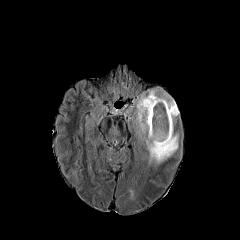
FLAIR MR image.
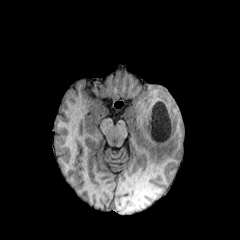
T1-weighted MRI of the same slice.
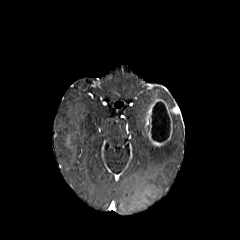
Post-contrast T1-weighted MR image.
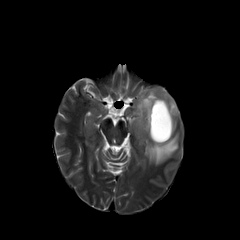
T2-weighted magnetic resonance.
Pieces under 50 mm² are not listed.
{"enhancing_tumor": ["[x1=144, y1=98, x2=179, y2=146]"], "peritumoral_edema": ["[x1=134, y1=88, x2=178, y2=164]"], "necrotic_tumor_core": ["[x1=151, y1=101, x2=170, y2=142]"]}